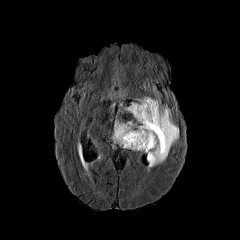
FLAIR magnetic resonance.
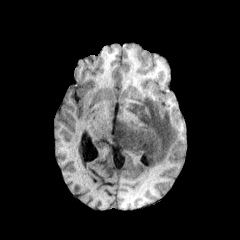
T1-weighted MRI of the same slice.
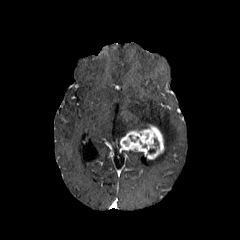
Post-contrast T1-weighted MR image of the same slice.
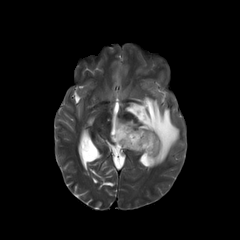
Same slice, T2-weighted MR image.
Head | 240x240 px
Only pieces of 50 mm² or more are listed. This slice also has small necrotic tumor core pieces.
enhancing tumor: 120, 124, 164, 159 | peritumoral edema: 112, 97, 179, 169